FLAIR MR image.
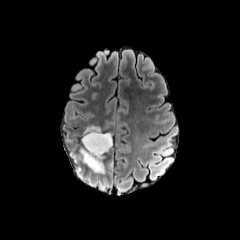
T1-weighted MR image.
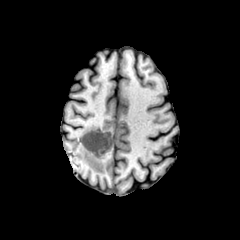
Post-contrast T1-weighted MR image.
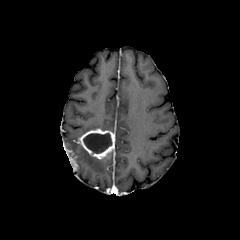
T2-weighted magnetic resonance.
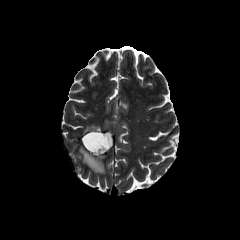
necrotic_tumor_core:
  - 83:133:112:153
peritumoral_edema:
  - 80:147:104:173
  - 83:125:102:133
enhancing_tumor:
  - 79:128:113:159